FLAIR MRI.
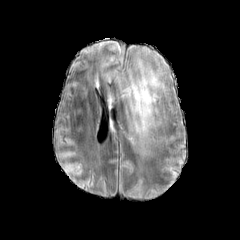
T1-weighted magnetic resonance.
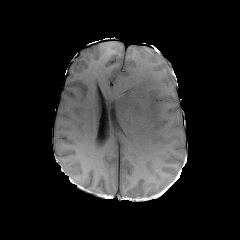
Post-contrast T1-weighted MR.
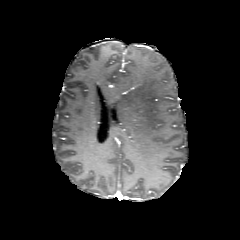
T2-weighted magnetic resonance.
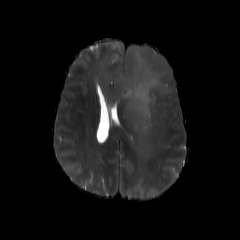
Head
peritumoral edema = x1=116 y1=60 x2=168 y2=138